240x240 px. Slice index 95. Brain.
FLAIR magnetic resonance.
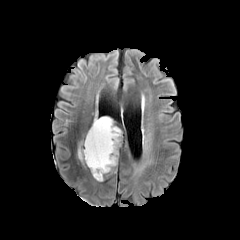
T1-weighted MRI.
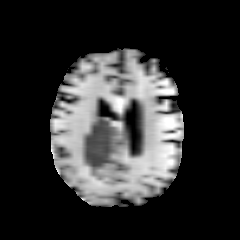
Post-contrast T1-weighted MRI.
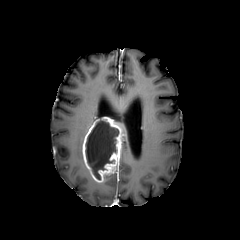
T2-weighted MRI.
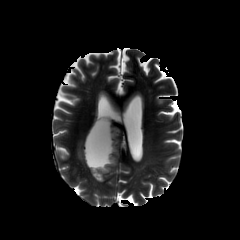
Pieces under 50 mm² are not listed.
necrotic tumor core: 85, 121, 118, 179 | enhancing tumor: 82, 116, 124, 182 | peritumoral edema: 78, 142, 82, 161